Image width 240 mm, 1.00 mm slice spacing. Brain.
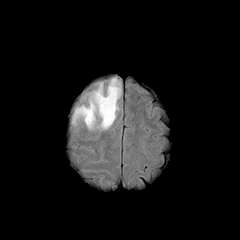
FLAIR MR image.
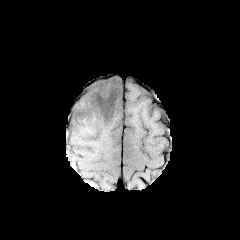
T1-weighted MR image of the same slice.
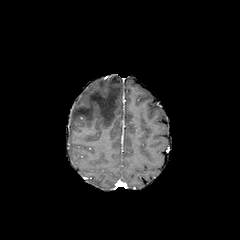
Same slice, post-contrast T1-weighted magnetic resonance.
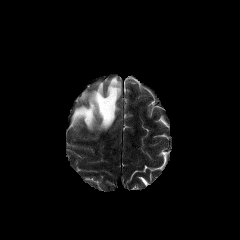
Same slice, T2-weighted MR.
peritumoral edema = region(72, 77, 121, 129)